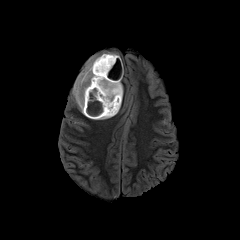
FLAIR MR image.
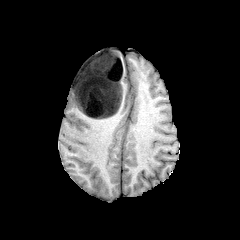
T1-weighted MR image of the same slice.
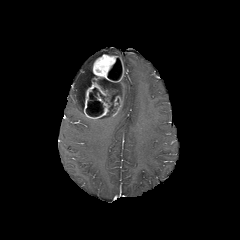
Post-contrast T1-weighted magnetic resonance of the same slice.
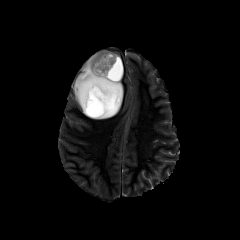
Same slice, T2-weighted MR image.
Axial view
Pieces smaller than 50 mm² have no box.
2 enhancing tumor regions are bounded by left=112, top=96, right=121, bottom=116; left=84, top=54, right=123, bottom=119. The 3 largest necrotic tumor core regions are located at left=107, top=58, right=122, bottom=80; left=86, top=88, right=108, bottom=116; left=97, top=78, right=121, bottom=115. The largest peritumoral edema region is located at left=72, top=52, right=119, bottom=114.